FLAIR MR image.
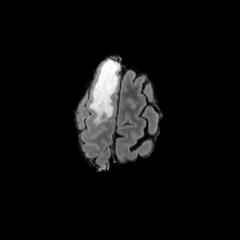
T1-weighted MR image.
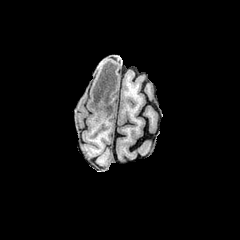
Post-contrast T1-weighted MR image.
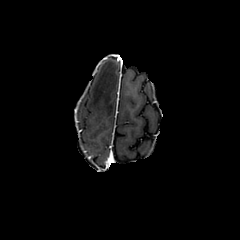
T2-weighted magnetic resonance.
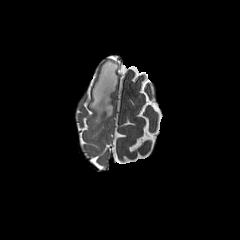
Brain
peritumoral_edema:
  - x1=89, y1=58, x2=120, y2=125